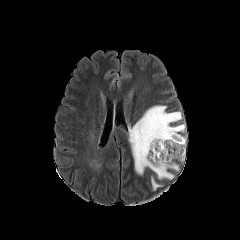
FLAIR MR.
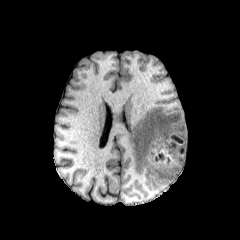
T1-weighted magnetic resonance.
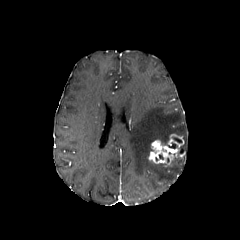
Post-contrast T1-weighted MRI.
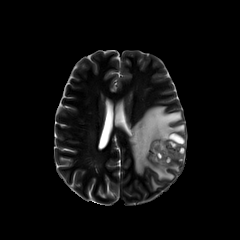
T2-weighted MRI.
Brain
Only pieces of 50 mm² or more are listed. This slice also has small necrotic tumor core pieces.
{"enhancing_tumor": ["bbox=[148, 133, 185, 165]"], "peritumoral_edema": ["bbox=[129, 105, 185, 179]", "bbox=[151, 176, 161, 190]"]}